FLAIR MR.
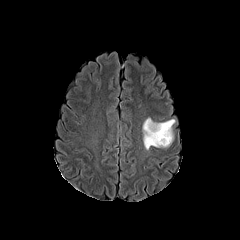
T1-weighted MR image.
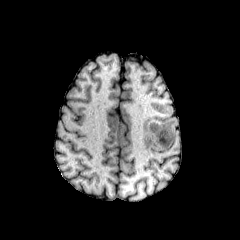
Post-contrast T1-weighted MR image.
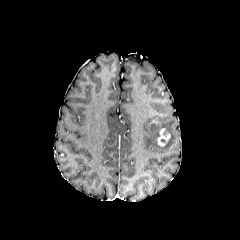
T2-weighted MR.
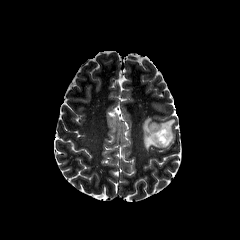
Image size 240x240
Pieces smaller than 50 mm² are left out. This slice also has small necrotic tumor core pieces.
enhancing tumor: 157 128 170 146 | peritumoral edema: 142 118 175 150